FLAIR MRI.
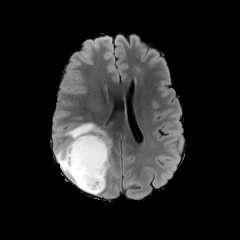
T1-weighted MR image.
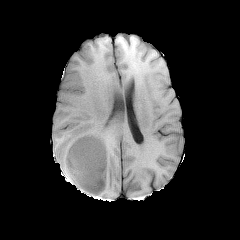
Post-contrast T1-weighted MRI.
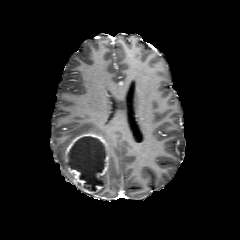
T2-weighted MRI.
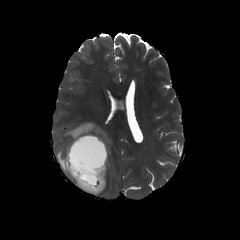
Axial plane; Brain
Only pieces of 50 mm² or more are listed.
necrotic tumor core: 69:136:105:190
enhancing tumor: 62:133:108:195
peritumoral edema: 55:145:66:172, 63:123:110:170